FLAIR MRI.
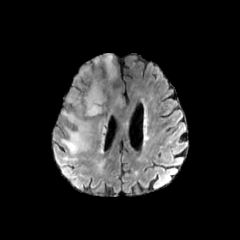
T1-weighted MR image.
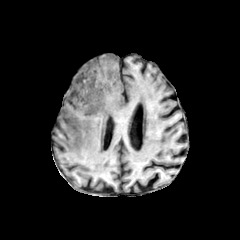
Post-contrast T1-weighted MRI.
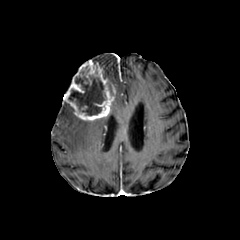
T2-weighted MR image.
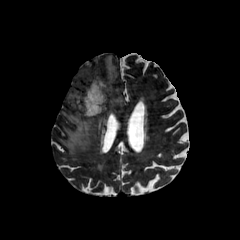
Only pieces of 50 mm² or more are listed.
The 3 largest peritumoral edema regions appear at (98, 120, 106, 142), (61, 111, 92, 154), (104, 54, 116, 82). The largest enhancing tumor region is bounded by (64, 61, 115, 120). The largest necrotic tumor core region is located at (68, 71, 105, 115).